FLAIR MR image.
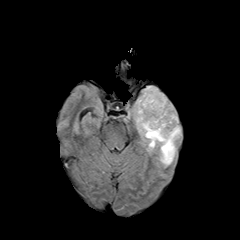
T1-weighted MRI.
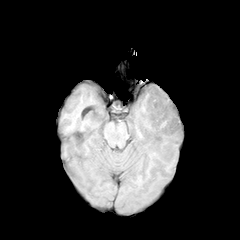
Post-contrast T1-weighted MR image.
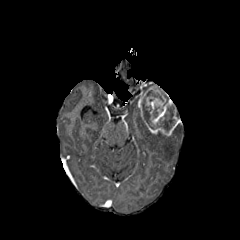
T2-weighted MR image.
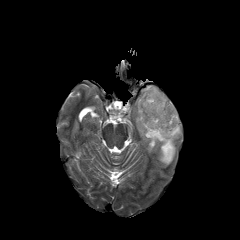
Image size 240x240; Head
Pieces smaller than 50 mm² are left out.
peritumoral edema: {"x1": 133, "y1": 99, "x2": 181, "y2": 166} | enhancing tumor: {"x1": 138, "y1": 86, "x2": 180, "y2": 136} | necrotic tumor core: {"x1": 157, "y1": 107, "x2": 174, "y2": 131}, {"x1": 142, "y1": 99, "x2": 154, "y2": 129}, {"x1": 146, "y1": 90, "x2": 163, "y2": 100}